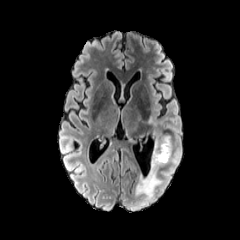
FLAIR magnetic resonance.
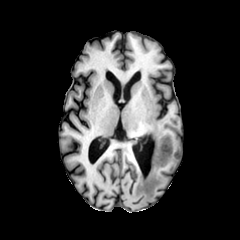
T1-weighted MR image.
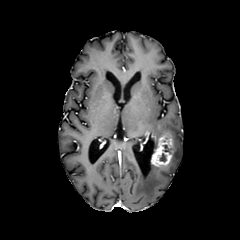
Post-contrast T1-weighted MR.
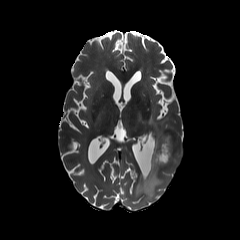
T2-weighted magnetic resonance.
Brain; Axial view
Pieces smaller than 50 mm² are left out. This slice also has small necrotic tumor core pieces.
The enhancing tumor appears at left=151, top=136, right=172, bottom=166. The 3 largest peritumoral edema regions are bounded by left=171, top=149, right=180, bottom=164; left=147, top=116, right=171, bottom=149; left=135, top=165, right=161, bottom=199.